FLAIR MR.
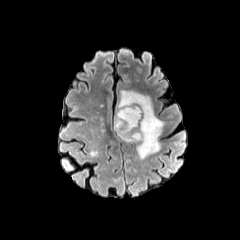
T1-weighted magnetic resonance.
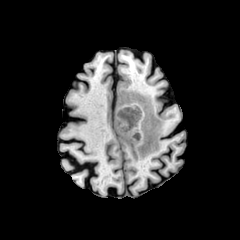
Post-contrast T1-weighted MR.
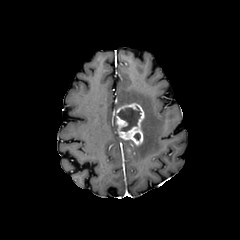
T2-weighted MR.
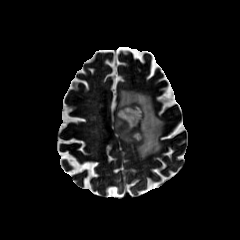
240x240 | Head
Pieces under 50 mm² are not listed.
The largest necrotic tumor core region is located at l=118, t=106, r=140, b=131. The largest peritumoral edema region appears at l=117, t=91, r=164, b=159. The largest enhancing tumor region is located at l=116, t=103, r=144, b=146.